FLAIR MR image.
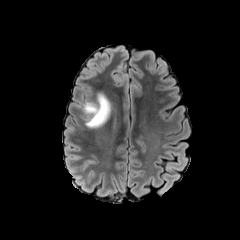
T1-weighted MR.
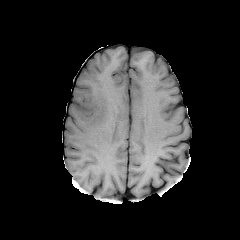
Post-contrast T1-weighted magnetic resonance.
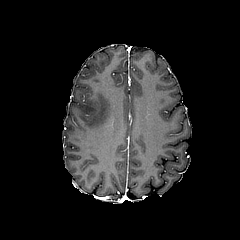
T2-weighted magnetic resonance.
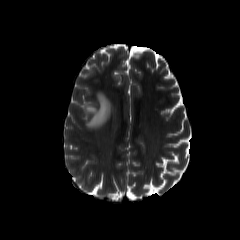
Image size 240x240 | Brain
The peritumoral edema is located at 80:92:111:128.